Slice index 81. Head.
FLAIR MRI.
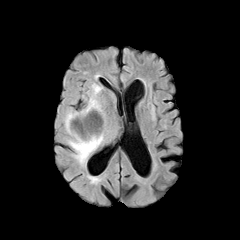
T1-weighted MR.
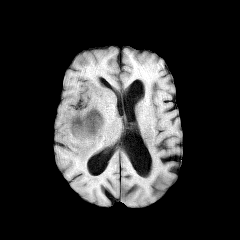
Post-contrast T1-weighted MR.
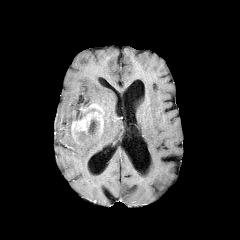
T2-weighted MR image.
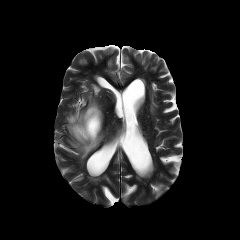
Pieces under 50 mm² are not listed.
necrotic_tumor_core:
  - box(86, 119, 98, 135)
enhancing_tumor:
  - box(71, 103, 103, 137)
peritumoral_edema:
  - box(64, 110, 104, 163)
  - box(85, 84, 102, 108)